Axial slice
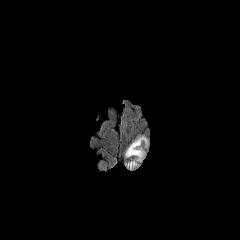
FLAIR MR.
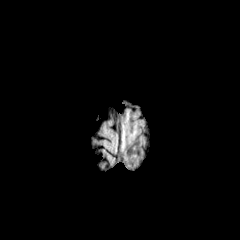
Same slice, T1-weighted MR.
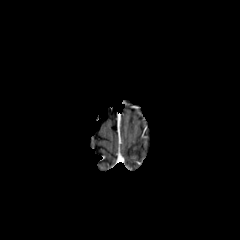
Post-contrast T1-weighted magnetic resonance.
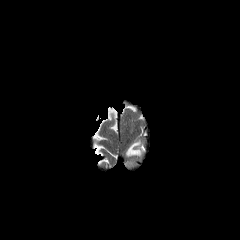
Same slice, T2-weighted magnetic resonance.
peritumoral edema at x1=125, y1=136, x2=147, y2=162; x1=127, y1=159, x2=137, y2=168